Slice 36 of 155, Brain, Image size 240x240
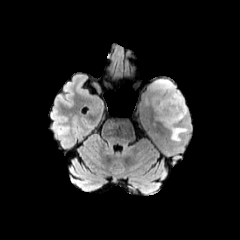
FLAIR MR image.
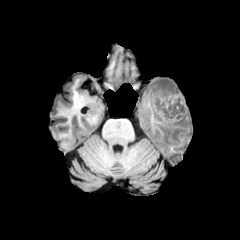
T1-weighted MR.
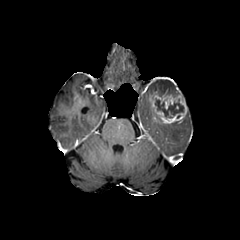
Post-contrast T1-weighted MR.
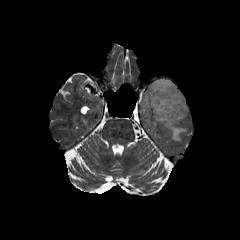
Same slice, T2-weighted MRI.
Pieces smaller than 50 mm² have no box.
* necrotic tumor core: bbox=[155, 99, 183, 117]
* enhancing tumor: bbox=[149, 91, 187, 123]
* peritumoral edema: bbox=[164, 121, 187, 142]; bbox=[150, 79, 180, 95]